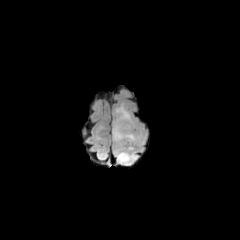
FLAIR MRI.
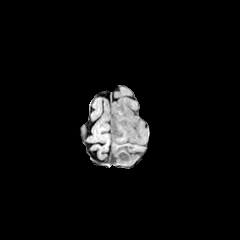
Same slice, T1-weighted magnetic resonance.
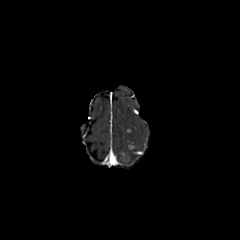
Same slice, post-contrast T1-weighted MRI.
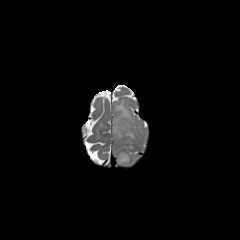
Same slice, T2-weighted magnetic resonance.
Axial view. Brain.
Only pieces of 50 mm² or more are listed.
enhancing tumor at {"x1": 120, "y1": 152, "x2": 129, "y2": 161}
peritumoral edema at {"x1": 113, "y1": 102, "x2": 143, "y2": 164}